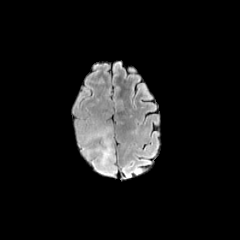
FLAIR MRI.
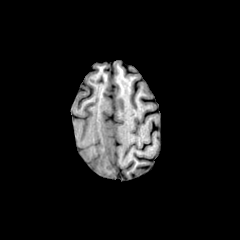
T1-weighted MR image.
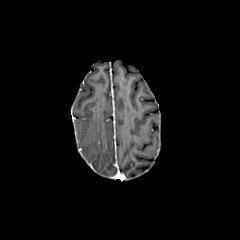
Post-contrast T1-weighted magnetic resonance.
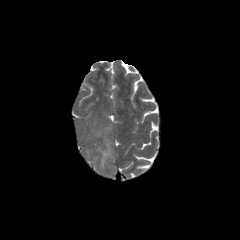
T2-weighted MRI.
Brain.
Findings:
- peritumoral edema: region(86, 127, 114, 174)